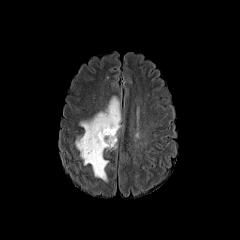
FLAIR MR.
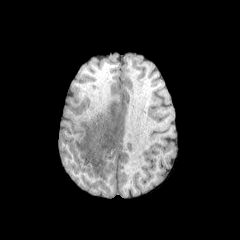
T1-weighted magnetic resonance.
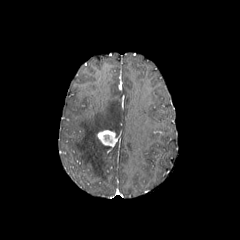
Same slice, post-contrast T1-weighted MRI.
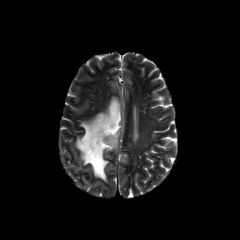
T2-weighted MRI of the same slice.
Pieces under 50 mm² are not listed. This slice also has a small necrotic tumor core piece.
The peritumoral edema is bounded by (75, 97, 121, 181). The enhancing tumor appears at (97, 130, 116, 146).